FLAIR magnetic resonance.
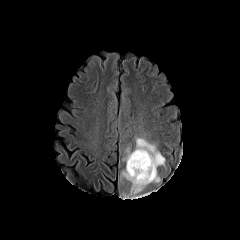
T1-weighted magnetic resonance.
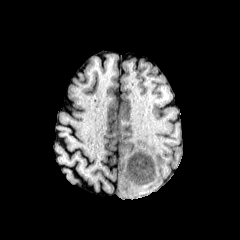
Post-contrast T1-weighted MRI.
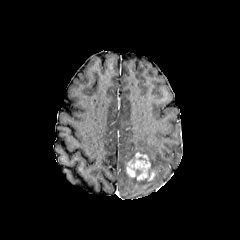
T2-weighted MRI.
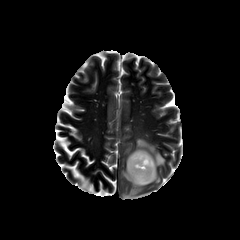
240x240 px; Brain
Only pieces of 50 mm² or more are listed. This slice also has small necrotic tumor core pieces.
{"peritumoral_edema": ["bbox(121, 137, 165, 195)"], "enhancing_tumor": ["bbox(126, 152, 155, 180)"]}